FLAIR MR image.
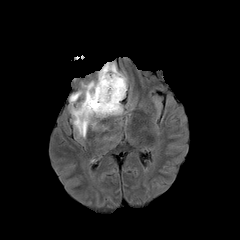
T1-weighted MRI.
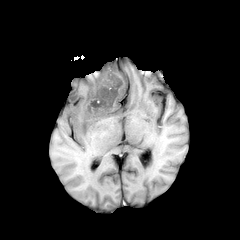
Post-contrast T1-weighted magnetic resonance.
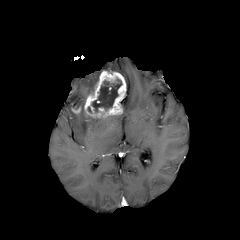
T2-weighted magnetic resonance.
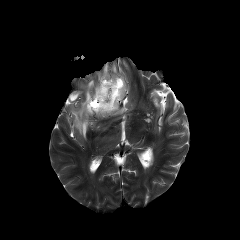
240x240 px; Head; Axial plane
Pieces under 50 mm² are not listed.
necrotic_tumor_core:
  - bbox=[92, 77, 121, 113]
peritumoral_edema:
  - bbox=[98, 62, 117, 80]
  - bbox=[69, 80, 96, 138]
enhancing_tumor:
  - bbox=[84, 70, 126, 118]
  - bbox=[71, 107, 81, 114]